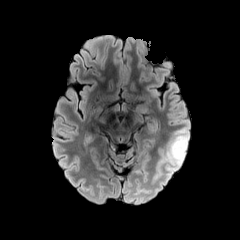
FLAIR MR image.
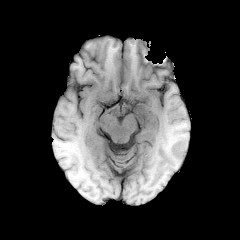
T1-weighted MRI.
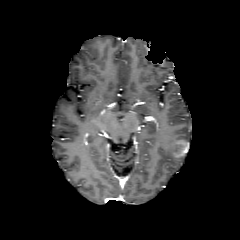
Post-contrast T1-weighted MR of the same slice.
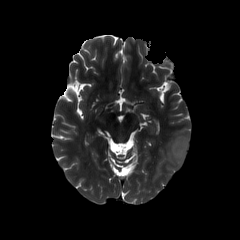
T2-weighted magnetic resonance.
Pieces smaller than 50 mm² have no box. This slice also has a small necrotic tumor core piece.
enhancing_tumor:
  - (171, 139, 187, 158)
peritumoral_edema:
  - (158, 128, 189, 182)